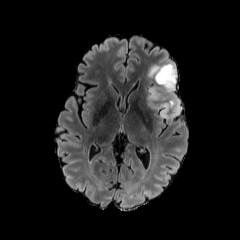
FLAIR magnetic resonance.
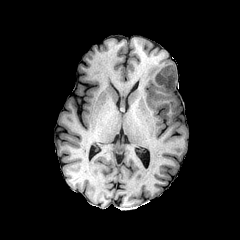
T1-weighted MRI.
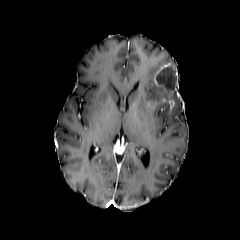
Post-contrast T1-weighted MR image.
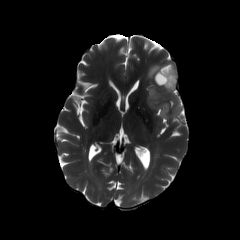
T2-weighted MR image.
Axial plane.
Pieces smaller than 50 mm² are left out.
Findings:
• necrotic tumor core: x1=156, y1=66, x2=176, y2=90
• peritumoral edema: x1=146, y1=60, x2=181, y2=119
• enhancing tumor: x1=148, y1=63, x2=177, y2=109